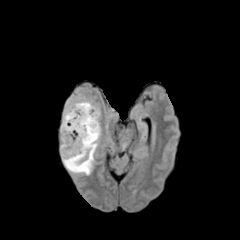
FLAIR MRI.
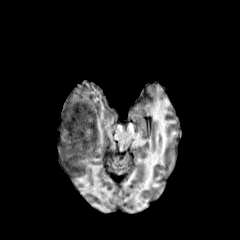
T1-weighted MRI.
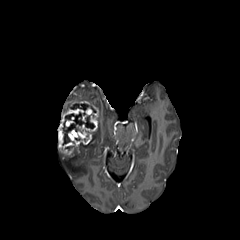
Post-contrast T1-weighted MRI.
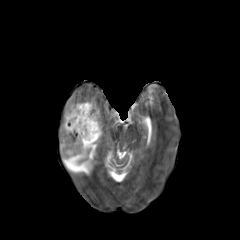
T2-weighted MRI of the same slice.
Axial slice. Head.
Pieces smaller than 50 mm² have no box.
enhancing tumor: {"x1": 65, "y1": 117, "x2": 74, "y2": 126}, {"x1": 58, "y1": 100, "x2": 99, "y2": 154} | necrotic tumor core: {"x1": 62, "y1": 112, "x2": 94, "y2": 144}, {"x1": 70, "y1": 103, "x2": 88, "y2": 110} | peritumoral edema: {"x1": 61, "y1": 125, "x2": 100, "y2": 174}